Slice 49/155
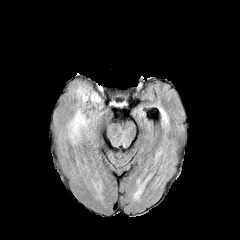
FLAIR MR.
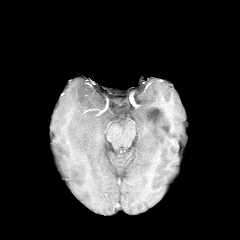
T1-weighted MR of the same slice.
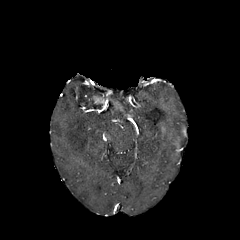
Same slice, post-contrast T1-weighted MR.
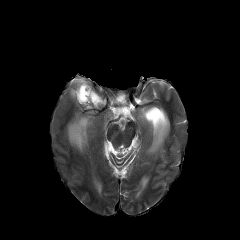
Same slice, T2-weighted magnetic resonance.
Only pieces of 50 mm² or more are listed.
peritumoral edema — bbox=[76, 85, 97, 102]; bbox=[68, 112, 89, 144]
enhancing tumor — bbox=[91, 94, 104, 104]